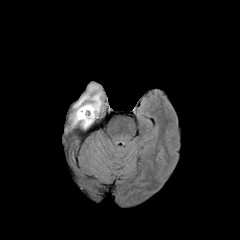
FLAIR MRI.
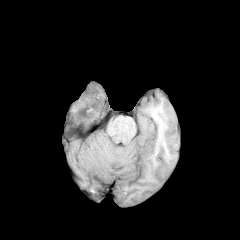
T1-weighted MR.
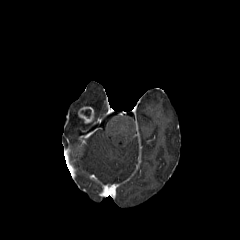
Post-contrast T1-weighted MR image.
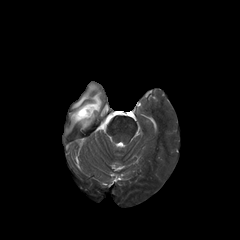
Same slice, T2-weighted magnetic resonance.
Axial plane. Brain. 240x240 px.
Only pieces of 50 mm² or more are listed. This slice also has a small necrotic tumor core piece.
enhancing tumor: (x1=78, y1=106, x2=94, y2=123) | peritumoral edema: (x1=71, y1=84, x2=102, y2=128)